FLAIR MR.
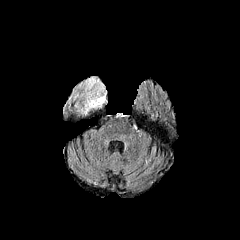
T1-weighted magnetic resonance.
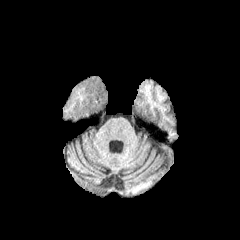
Post-contrast T1-weighted MR.
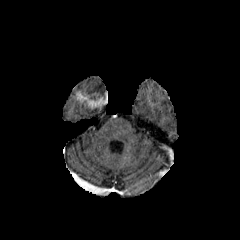
T2-weighted MRI.
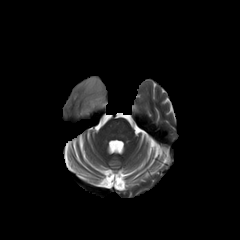
Axial view. Brain.
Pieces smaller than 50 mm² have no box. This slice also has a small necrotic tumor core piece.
enhancing tumor: (76, 92, 107, 108)
peritumoral edema: (82, 105, 91, 113), (78, 77, 105, 94)